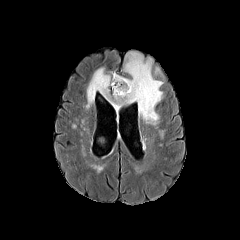
FLAIR MR.
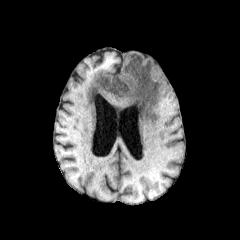
T1-weighted MR image.
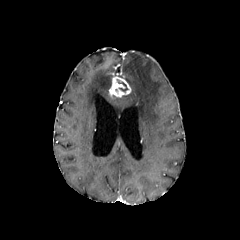
Post-contrast T1-weighted MRI of the same slice.
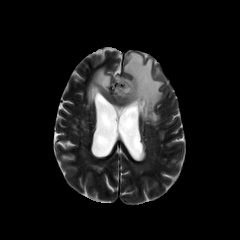
T2-weighted MR.
Axial view; Head
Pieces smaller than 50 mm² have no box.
enhancing tumor — <box>109,76,131,97</box>
peritumoral edema — <box>86,52,162,125</box>
necrotic tumor core — <box>117,80,128,91</box>